Head. Image width 240 mm. Slice 62 of 155.
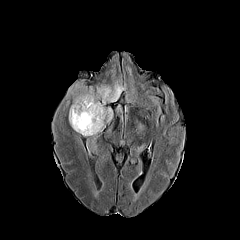
FLAIR MR.
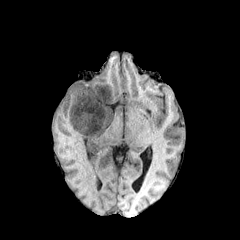
T1-weighted MRI of the same slice.
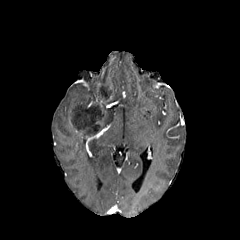
Post-contrast T1-weighted MR.
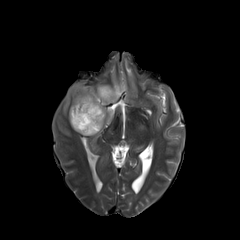
T2-weighted MR.
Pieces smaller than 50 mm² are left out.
necrotic tumor core: x1=98, y1=87, x2=115, y2=101; x1=70, y1=103, x2=104, y2=134 | enhancing tumor: x1=88, y1=97, x2=103, y2=113 | peritumoral edema: x1=103, y1=107, x2=112, y2=127; x1=66, y1=81, x2=126, y2=129